Slice 37/155 | Head | Axial view
FLAIR MR.
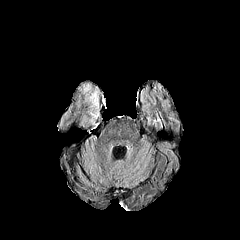
T1-weighted MR image.
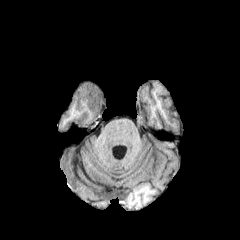
Post-contrast T1-weighted MR image.
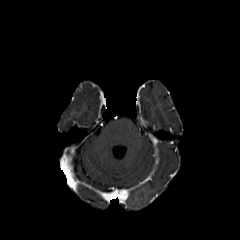
T2-weighted MR.
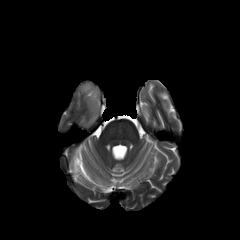
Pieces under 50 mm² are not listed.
Annotated regions:
- peritumoral edema: {"x1": 89, "y1": 89, "x2": 98, "y2": 109}, {"x1": 83, "y1": 84, "x2": 91, "y2": 92}